FLAIR MRI.
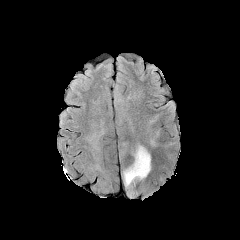
T1-weighted MR image.
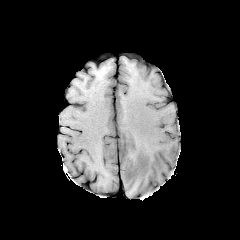
Post-contrast T1-weighted magnetic resonance.
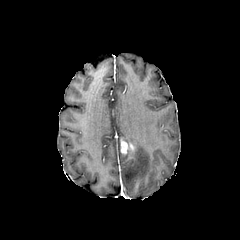
T2-weighted magnetic resonance.
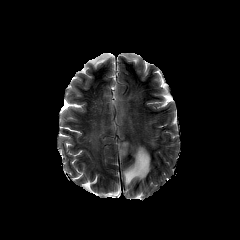
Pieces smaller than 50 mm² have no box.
Findings:
- peritumoral edema: 122, 144, 151, 196
- enhancing tumor: 120, 141, 129, 154